Brain
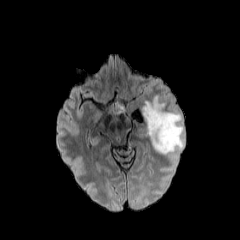
FLAIR magnetic resonance.
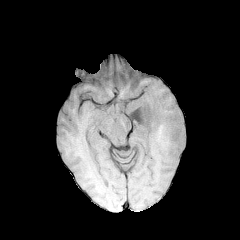
T1-weighted magnetic resonance.
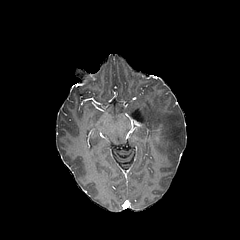
Post-contrast T1-weighted MR image.
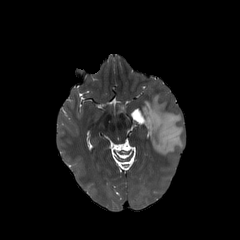
T2-weighted MR.
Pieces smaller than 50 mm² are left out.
The largest peritumoral edema region is located at 142,95,184,155.